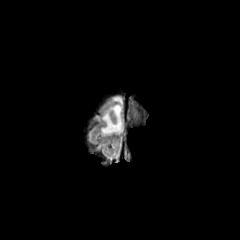
FLAIR MRI.
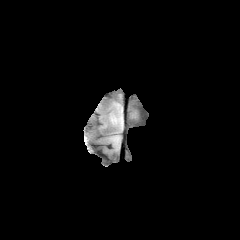
T1-weighted magnetic resonance.
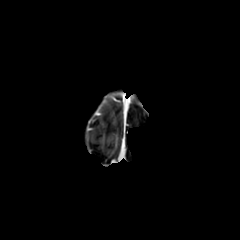
Post-contrast T1-weighted magnetic resonance.
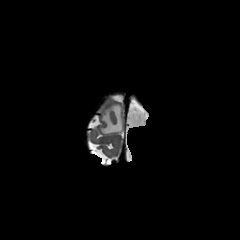
T2-weighted MRI of the same slice.
Image size 240x240
Annotated regions:
• peritumoral edema: box=[101, 96, 122, 134]